Slice 88/155 | Image covers 240 mm x 240 mm
FLAIR MR.
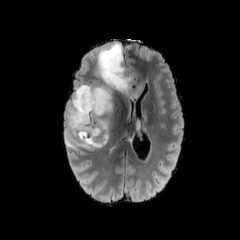
T1-weighted MRI.
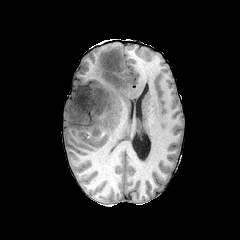
Post-contrast T1-weighted MRI.
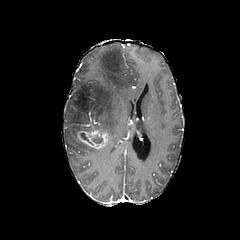
T2-weighted MR.
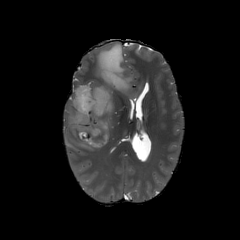
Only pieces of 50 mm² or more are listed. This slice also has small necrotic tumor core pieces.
Findings:
* peritumoral edema: x1=64 y1=42 x2=146 y2=151, x1=134 y1=118 x2=148 y2=135
* enhancing tumor: x1=77 y1=130 x2=109 y2=149